Axial plane. Slice 30/155. Head. 240x240.
FLAIR magnetic resonance.
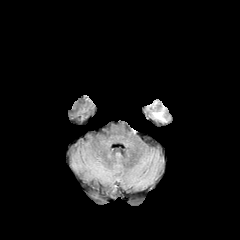
T1-weighted magnetic resonance.
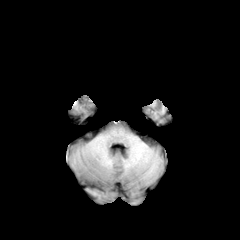
Post-contrast T1-weighted MR image.
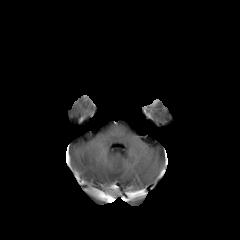
T2-weighted MR image.
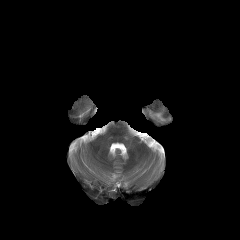
The peritumoral edema is located at (x1=154, y1=112, x2=164, y2=120).